Image size 240x240 | Brain
FLAIR magnetic resonance.
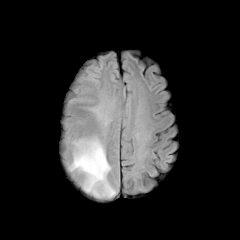
T1-weighted MRI.
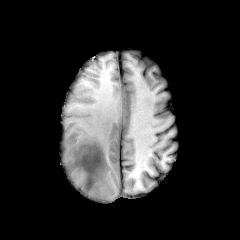
Post-contrast T1-weighted MRI.
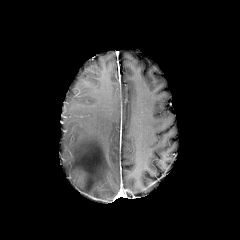
T2-weighted MRI.
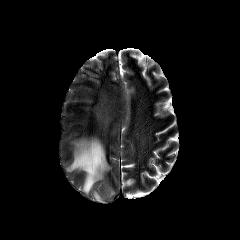
The peritumoral edema appears at x1=69, y1=137, x2=115, y2=197.